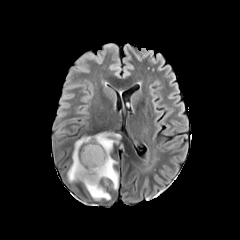
FLAIR MRI.
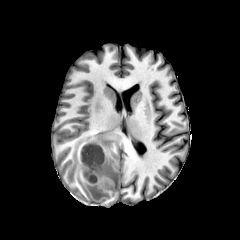
T1-weighted magnetic resonance.
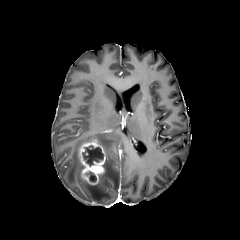
Post-contrast T1-weighted MR.
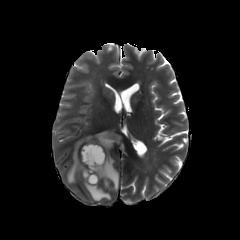
Same slice, T2-weighted magnetic resonance.
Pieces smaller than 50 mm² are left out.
The largest peritumoral edema region is bounded by bbox=[67, 132, 120, 200]. The largest enhancing tumor region is bounded by bbox=[79, 140, 105, 184]. 2 necrotic tumor core regions appear at bbox=[82, 145, 103, 166]; bbox=[86, 172, 96, 182].